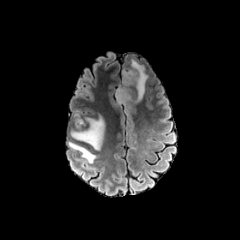
FLAIR MRI.
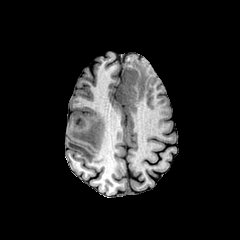
T1-weighted magnetic resonance.
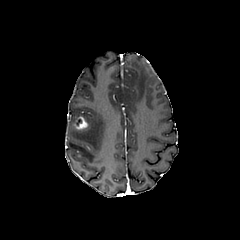
Post-contrast T1-weighted MRI of the same slice.
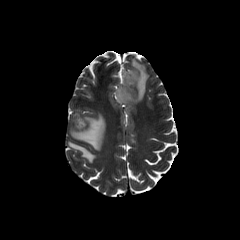
Same slice, T2-weighted MR.
Head
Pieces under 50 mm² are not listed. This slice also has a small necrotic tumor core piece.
Findings:
* enhancing tumor: 74:116:87:129
* peritumoral edema: 115:59:148:103, 68:142:96:163, 71:114:105:150